Axial view; Head; Image width 240 mm
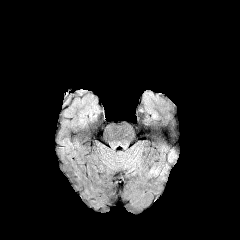
FLAIR MRI.
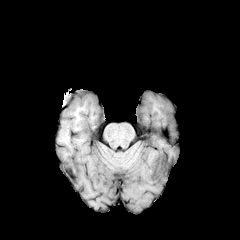
T1-weighted magnetic resonance.
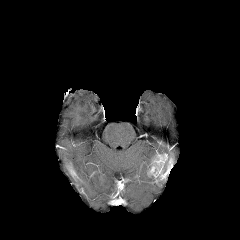
Post-contrast T1-weighted magnetic resonance of the same slice.
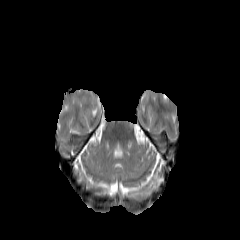
T2-weighted MR.
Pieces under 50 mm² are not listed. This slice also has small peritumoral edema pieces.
<segmentation>
  <enhancing_tumor>(x1=148, y1=154, x2=172, y2=181)</enhancing_tumor>
</segmentation>